FLAIR MR.
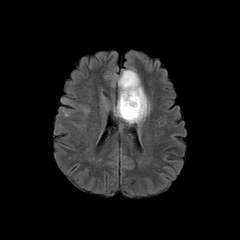
T1-weighted MR.
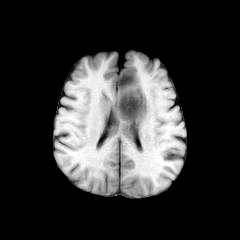
Post-contrast T1-weighted magnetic resonance.
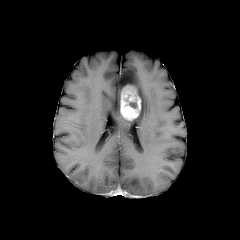
T2-weighted MR image.
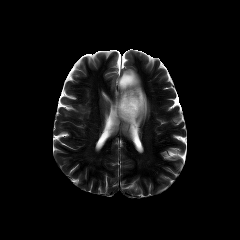
Axial plane, Brain
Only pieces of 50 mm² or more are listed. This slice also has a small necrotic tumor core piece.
Findings:
* peritumoral edema: <box>114,69,149,125</box>
* enhancing tumor: <box>120,85,141,121</box>